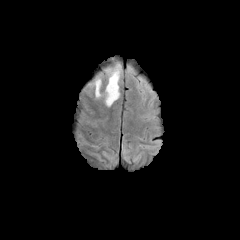
FLAIR MRI.
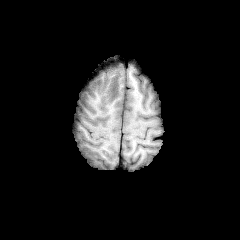
T1-weighted MR.
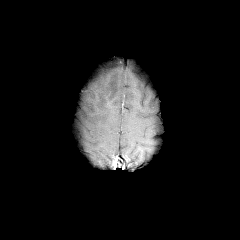
Post-contrast T1-weighted MRI.
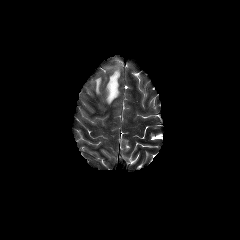
T2-weighted MR.
Head
peritumoral edema: 103 65 121 107, 94 78 101 98